FLAIR MR image.
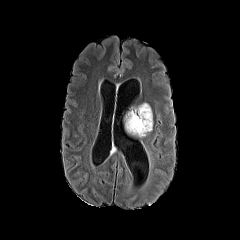
T1-weighted magnetic resonance.
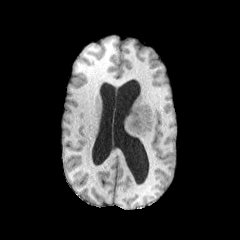
Post-contrast T1-weighted MRI.
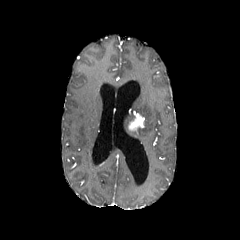
T2-weighted magnetic resonance.
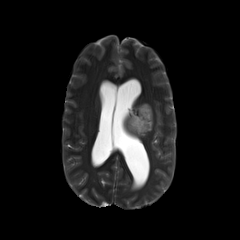
Image size 240x240
peritumoral edema at {"x1": 126, "y1": 112, "x2": 133, "y2": 131}, {"x1": 130, "y1": 103, "x2": 153, "y2": 136}
enhancing tumor at {"x1": 128, "y1": 112, "x2": 144, "y2": 131}